240x240 px | Image width 240 mm, 1.00 mm slice spacing | Axial view | Brain
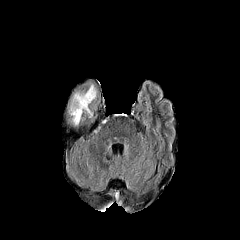
FLAIR MR.
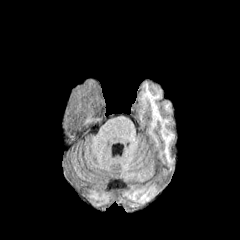
T1-weighted MR.
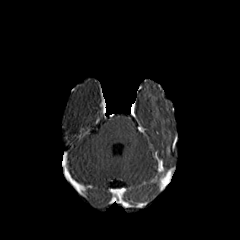
Same slice, post-contrast T1-weighted magnetic resonance.
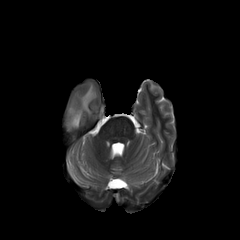
Same slice, T2-weighted magnetic resonance.
The peritumoral edema lies within <bbox>69, 84, 96, 126</bbox>.